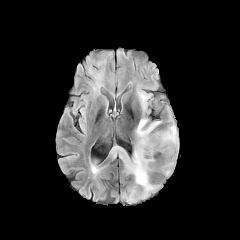
FLAIR MRI.
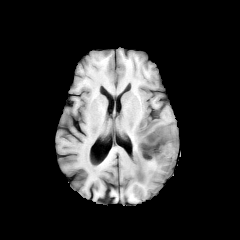
T1-weighted MR of the same slice.
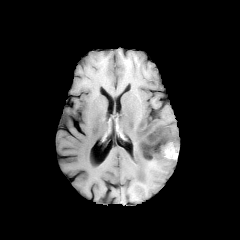
Same slice, post-contrast T1-weighted MRI.
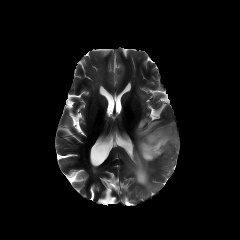
T2-weighted MRI.
Head; Axial view
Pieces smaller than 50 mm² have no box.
<segmentation>
  <enhancing_tumor>(142, 131, 177, 160)</enhancing_tumor>
  <necrotic_tumor_core>(143, 135, 170, 159)</necrotic_tumor_core>
  <peritumoral_edema>(120, 118, 178, 192), (164, 159, 175, 175)</peritumoral_edema>
</segmentation>